Slice index 71 | 240x240
FLAIR MR image.
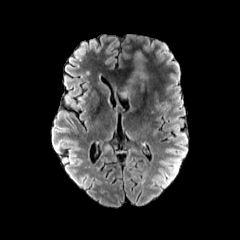
T1-weighted MR.
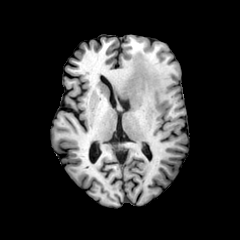
Post-contrast T1-weighted MR image.
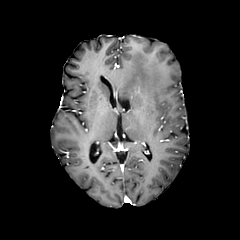
T2-weighted MR image.
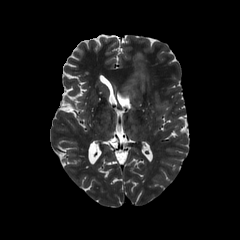
peritumoral edema: box=[119, 51, 147, 101]